Head
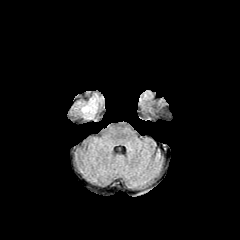
FLAIR MR.
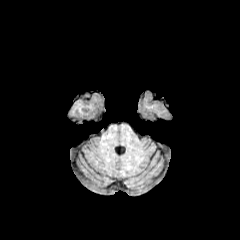
T1-weighted MRI.
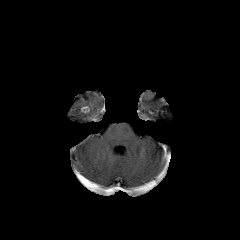
Post-contrast T1-weighted MR image of the same slice.
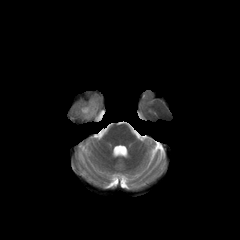
Same slice, T2-weighted MR.
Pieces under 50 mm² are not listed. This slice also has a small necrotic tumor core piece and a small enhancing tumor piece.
The largest peritumoral edema region is located at region(79, 95, 100, 119).